FLAIR MR image.
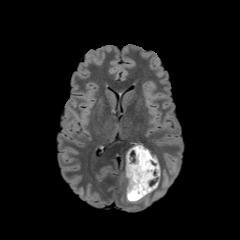
T1-weighted magnetic resonance.
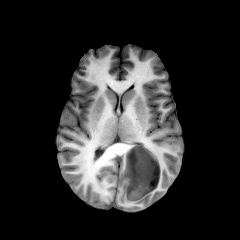
Post-contrast T1-weighted MRI.
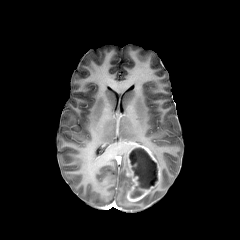
T2-weighted magnetic resonance.
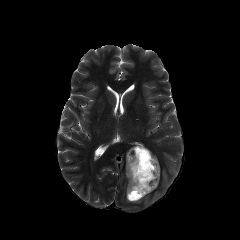
Axial slice; Head
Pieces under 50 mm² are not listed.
The necrotic tumor core is at [129,148,157,198]. The enhancing tumor is located at [126,144,160,201]. The largest peritumoral edema region appears at [126,177,131,201].